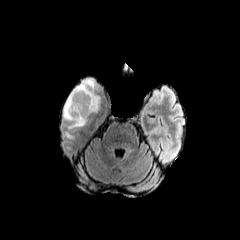
FLAIR MR image.
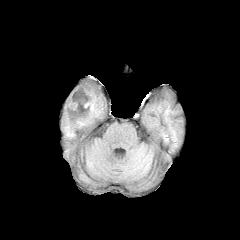
T1-weighted MRI.
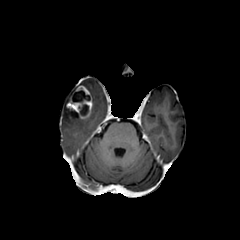
Post-contrast T1-weighted MR image.
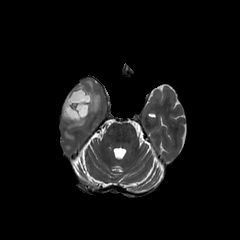
T2-weighted MRI.
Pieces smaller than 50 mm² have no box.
necrotic tumor core at 72, 90, 89, 101; 79, 104, 88, 115
peritumoral edema at 62, 79, 100, 128
enhancing tumor at 66, 85, 92, 119